Head, Axial view
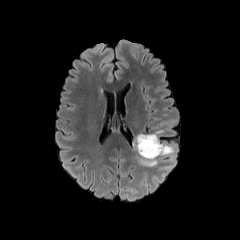
FLAIR MRI.
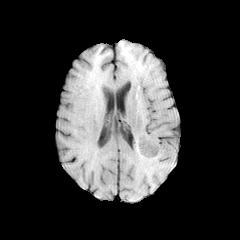
Same slice, T1-weighted magnetic resonance.
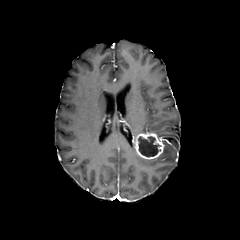
Post-contrast T1-weighted MR image.
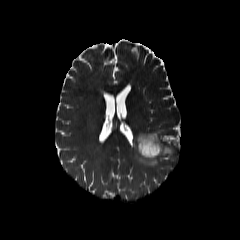
Same slice, T2-weighted magnetic resonance.
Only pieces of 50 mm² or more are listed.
Findings:
* enhancing tumor: bbox=[134, 132, 164, 159]
* peritumoral edema: bbox=[159, 142, 173, 161]; bbox=[136, 152, 157, 166]
* necrotic tumor core: bbox=[139, 136, 159, 156]